FLAIR magnetic resonance.
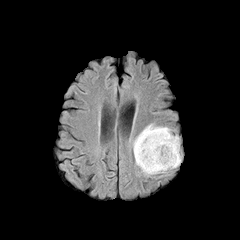
T1-weighted MR image.
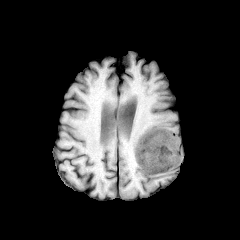
Post-contrast T1-weighted MRI.
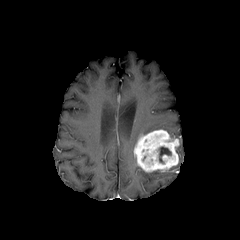
T2-weighted MR.
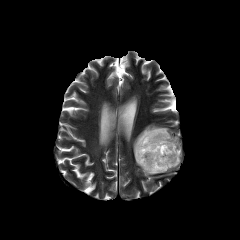
Axial slice; Head
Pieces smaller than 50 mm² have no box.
<segmentation>
  <necrotic_tumor_core>[x1=159, y1=147, x2=171, y2=161]</necrotic_tumor_core>
  <enhancing_tumor>[x1=134, y1=129, x2=179, y2=173]</enhancing_tumor>
  <peritumoral_edema>[x1=172, y1=146, x2=180, y2=168], [x1=133, y1=124, x2=178, y2=152]</peritumoral_edema>
</segmentation>